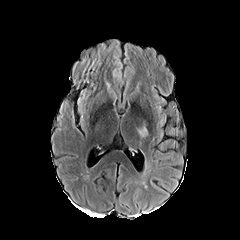
FLAIR MRI.
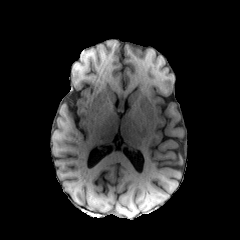
T1-weighted magnetic resonance of the same slice.
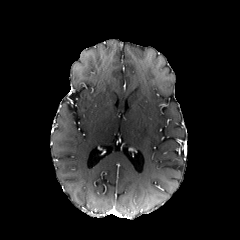
Post-contrast T1-weighted MRI.
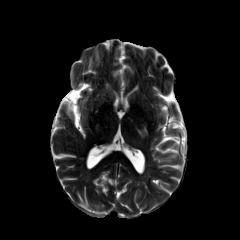
T2-weighted MR of the same slice.
240x240.
peritumoral edema = (136,126,148,137)